FLAIR MR image.
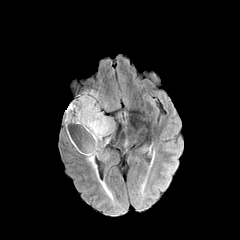
T1-weighted magnetic resonance.
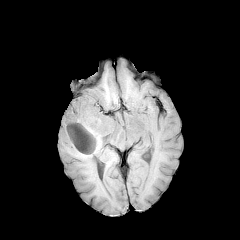
Post-contrast T1-weighted MR.
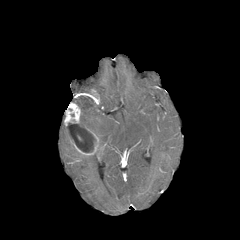
T2-weighted magnetic resonance.
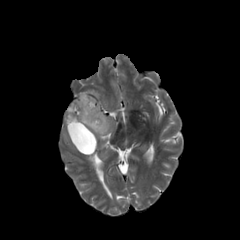
Image size 240x240 | Brain
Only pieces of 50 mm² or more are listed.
necrotic tumor core: 68, 123, 95, 152
enhancing tumor: 64, 102, 99, 155; 89, 89, 100, 102
peritumoral edema: 73, 96, 114, 144; 86, 155, 97, 174